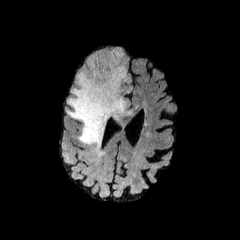
FLAIR MR.
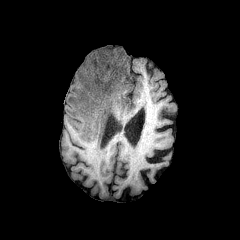
T1-weighted MR.
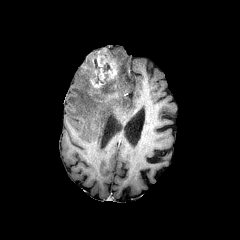
Same slice, post-contrast T1-weighted MRI.
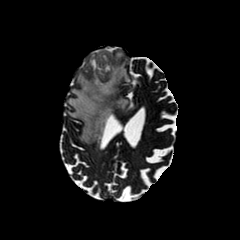
T2-weighted MR image of the same slice.
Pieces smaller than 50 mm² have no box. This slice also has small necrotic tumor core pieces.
The enhancing tumor lies within [83,48,119,99]. The largest peritumoral edema region is bounded by [67,48,130,146].